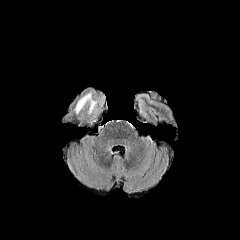
FLAIR MR.
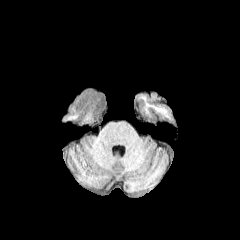
Same slice, T1-weighted MRI.
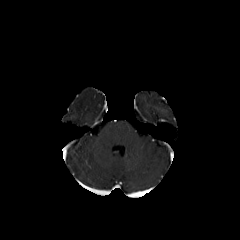
Post-contrast T1-weighted MRI.
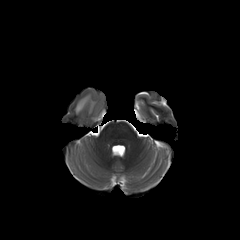
T2-weighted MR.
Segmented structures:
* peritumoral edema: 74,92,103,115